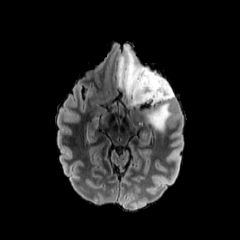
FLAIR MRI.
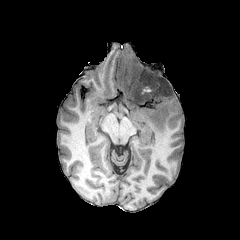
T1-weighted magnetic resonance.
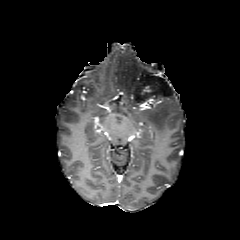
Post-contrast T1-weighted MRI.
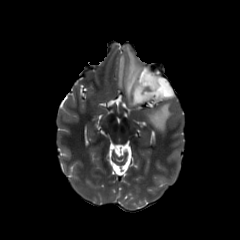
T2-weighted magnetic resonance of the same slice.
Axial view. Brain.
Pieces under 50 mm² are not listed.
The peritumoral edema is located at <box>117,45,174,131</box>. The 2 largest enhancing tumor regions appear at <box>141,86,151,94</box>, <box>143,95,168,105</box>.